Brain | Image size 240x240 | Slice index 110 | Axial view
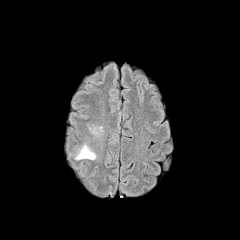
FLAIR MR.
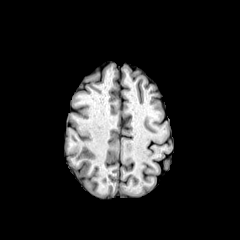
T1-weighted MR.
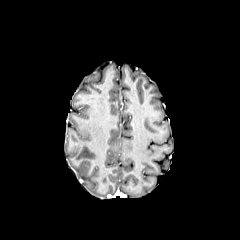
Same slice, post-contrast T1-weighted MRI.
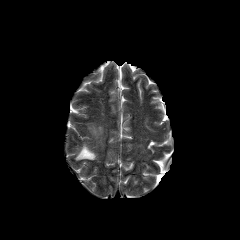
T2-weighted MRI.
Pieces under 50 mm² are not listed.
peritumoral_edema:
  - <box>75,145,95,159</box>